Axial slice; Brain; Image width 240 mm, 1.00 mm slice spacing; Slice 68/155; 240x240
FLAIR MR image.
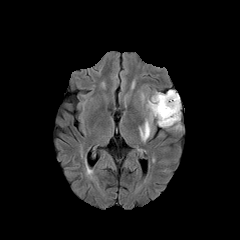
T1-weighted MR.
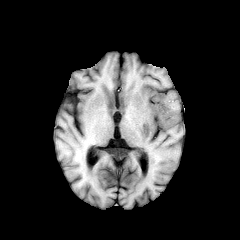
Post-contrast T1-weighted magnetic resonance.
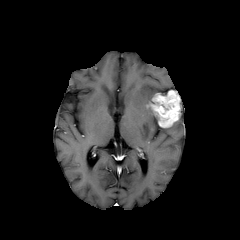
T2-weighted MR image.
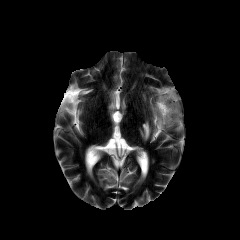
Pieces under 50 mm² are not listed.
The enhancing tumor appears at 148:90:180:127. The largest peritumoral edema region is bounded by 140:121:150:141.